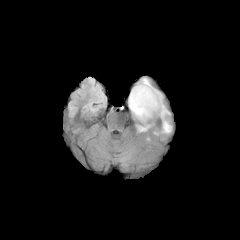
FLAIR MR.
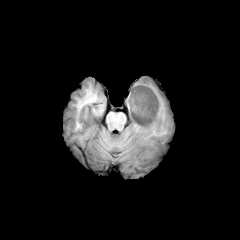
Same slice, T1-weighted magnetic resonance.
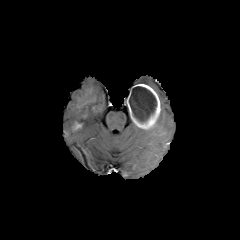
Post-contrast T1-weighted MRI of the same slice.
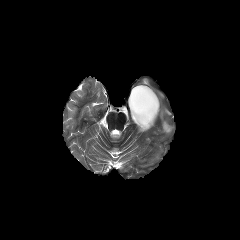
T2-weighted MR image of the same slice.
Image size 240x240. Axial slice.
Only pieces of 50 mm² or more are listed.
peritumoral_edema:
  - [x1=153, y1=88, x2=171, y2=133]
  - [x1=138, y1=78, x2=151, y2=86]
necrotic_tumor_core:
  - [x1=129, y1=86, x2=156, y2=121]
enhancing_tumor:
  - [x1=127, y1=84, x2=160, y2=129]